Axial plane | Brain
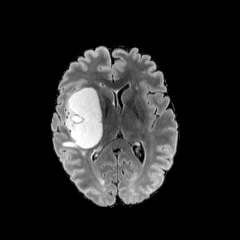
FLAIR MRI.
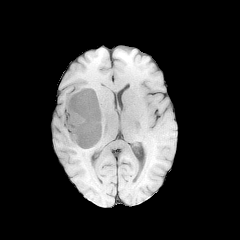
T1-weighted magnetic resonance.
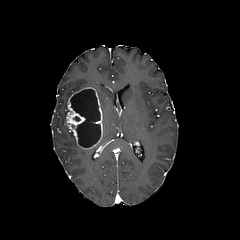
Post-contrast T1-weighted magnetic resonance.
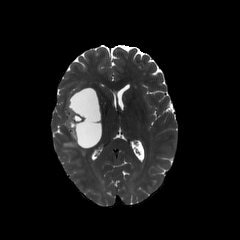
T2-weighted magnetic resonance.
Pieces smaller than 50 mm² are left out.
{"peritumoral_edema": ["(left=63, top=132, right=79, bottom=147)"], "necrotic_tumor_core": ["(left=70, top=89, right=100, bottom=147)"], "enhancing_tumor": ["(left=66, top=87, right=102, bottom=149)"]}